FLAIR magnetic resonance.
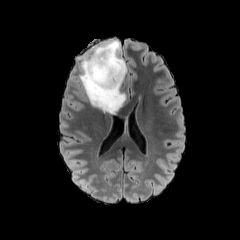
T1-weighted MR.
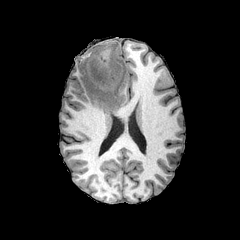
Post-contrast T1-weighted MRI.
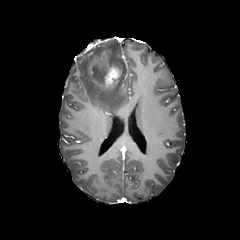
T2-weighted MRI.
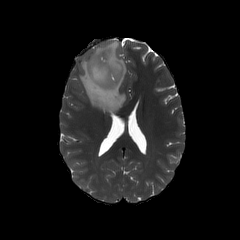
Axial view, Brain
Annotated regions:
• enhancing tumor: bbox(88, 56, 120, 88)
• peritumoral edema: bbox(79, 40, 126, 113)